FLAIR MR image.
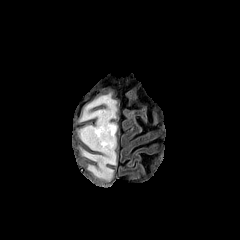
T1-weighted MR image.
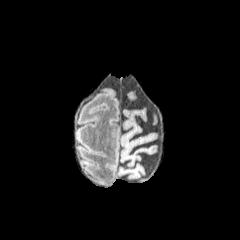
Post-contrast T1-weighted MRI.
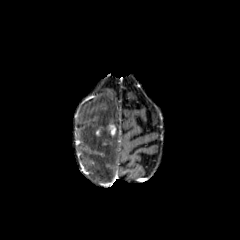
T2-weighted MRI.
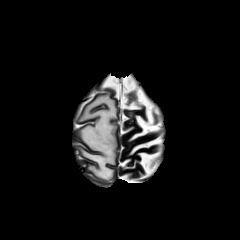
Head, Axial slice, Image size 240x240
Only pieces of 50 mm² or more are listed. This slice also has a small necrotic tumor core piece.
Findings:
* enhancing tumor: 106, 124, 116, 136
* peritumoral edema: 79, 94, 117, 181